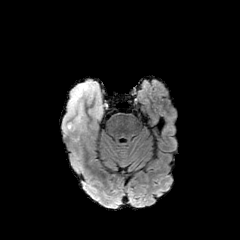
FLAIR MR image.
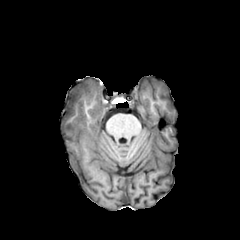
T1-weighted MRI.
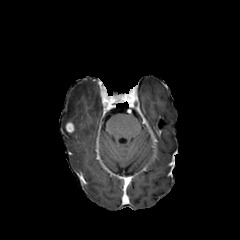
Post-contrast T1-weighted MRI of the same slice.
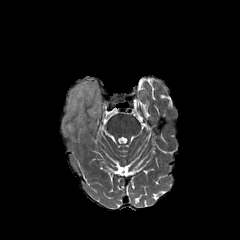
Same slice, T2-weighted magnetic resonance.
Axial view; 240x240; Head
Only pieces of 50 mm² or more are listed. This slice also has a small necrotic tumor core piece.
{
  "peritumoral_edema": [
    "region(62, 78, 103, 139)"
  ],
  "enhancing_tumor": [
    "region(65, 122, 74, 132)"
  ]
}